FLAIR MRI.
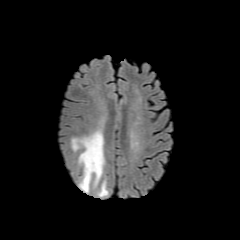
T1-weighted magnetic resonance.
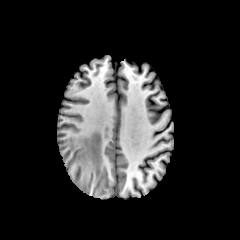
Post-contrast T1-weighted magnetic resonance.
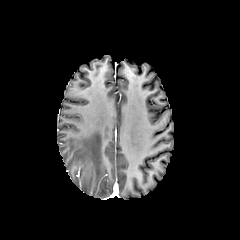
T2-weighted MR image.
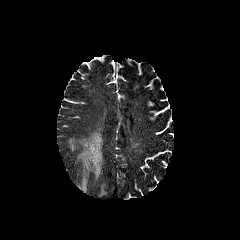
Axial slice, Brain
2 peritumoral edema regions are located at [98, 181, 107, 196], [71, 129, 104, 192].